Image size 240x240.
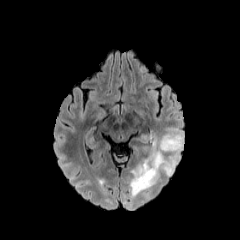
FLAIR magnetic resonance.
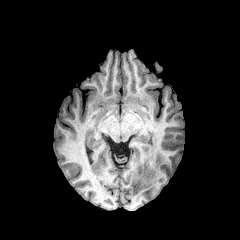
T1-weighted MRI of the same slice.
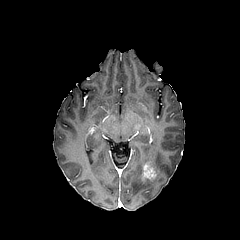
Post-contrast T1-weighted MR.
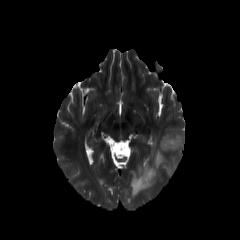
T2-weighted MR of the same slice.
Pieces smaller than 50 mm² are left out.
enhancing tumor: (142,164,155,180)
peritumoral edema: (129,128,183,197)